Head
FLAIR MR.
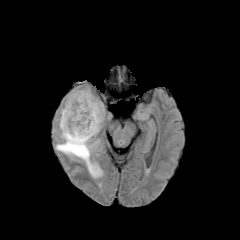
T1-weighted MR.
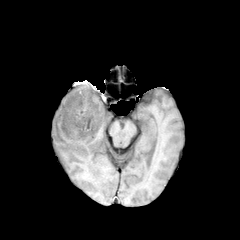
Post-contrast T1-weighted MR.
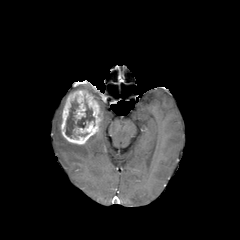
T2-weighted MRI.
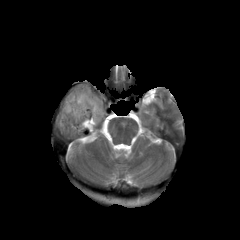
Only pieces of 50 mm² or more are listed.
enhancing tumor: bounding box [x1=61, y1=89, x2=102, y2=144]
necrotic tumor core: bounding box [x1=65, y1=100, x2=94, y2=137]
peritumoral edema: bounding box [x1=94, y1=96, x2=104, y2=130], [x1=56, y1=108, x2=102, y2=177]